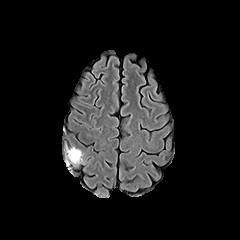
FLAIR MRI.
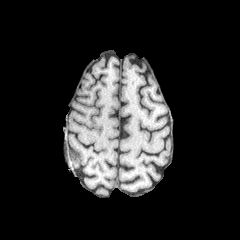
T1-weighted MR.
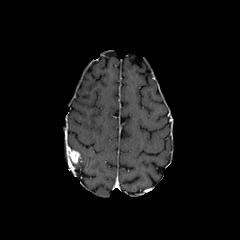
Post-contrast T1-weighted magnetic resonance of the same slice.
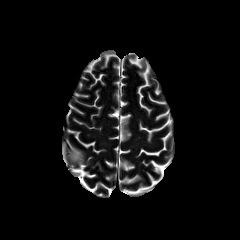
T2-weighted magnetic resonance.
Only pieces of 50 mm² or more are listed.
peritumoral_edema:
  - [66, 147, 83, 163]
enhancing_tumor:
  - [68, 150, 80, 163]